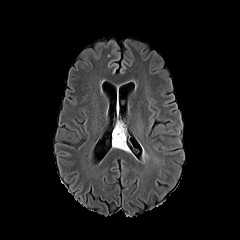
FLAIR magnetic resonance.
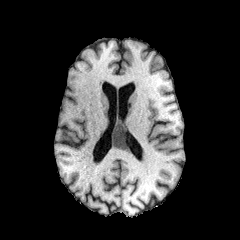
T1-weighted MR of the same slice.
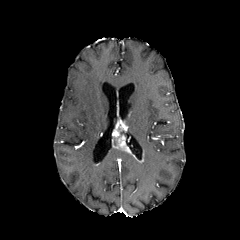
Post-contrast T1-weighted MRI.
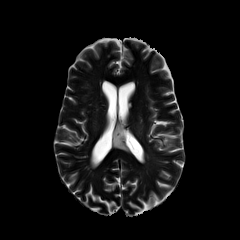
T2-weighted MRI of the same slice.
240x240, Brain
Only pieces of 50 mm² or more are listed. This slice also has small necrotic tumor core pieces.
The enhancing tumor appears at [112,120,130,152].